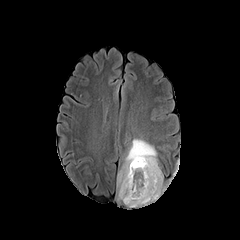
FLAIR MR image.
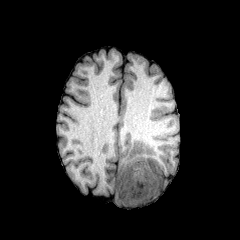
T1-weighted MR of the same slice.
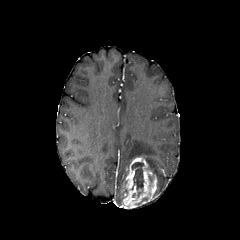
Post-contrast T1-weighted magnetic resonance.
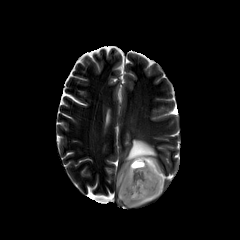
Same slice, T2-weighted MRI.
Axial plane.
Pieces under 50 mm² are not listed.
The peritumoral edema is at x1=117, y1=139, x2=163, y2=200. The enhancing tumor is located at x1=120, y1=157, x2=159, y2=208. The largest necrotic tumor core region is located at x1=131, y1=162, x2=143, y2=190.